Image width 240 mm; Brain; Axial slice
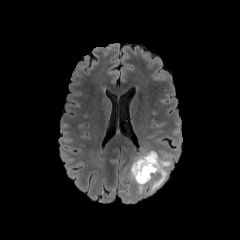
FLAIR MR.
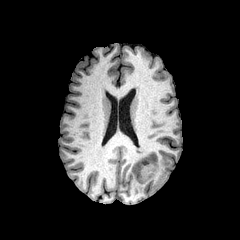
T1-weighted magnetic resonance.
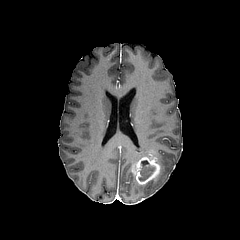
Post-contrast T1-weighted MR.
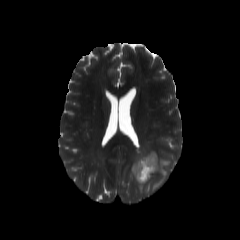
T2-weighted MRI.
Annotated regions:
* peritumoral edema: [128,150,177,195]
* enhancing tumor: [132,153,161,184]
* necrotic tumor core: [139,160,154,180]